FLAIR MR image.
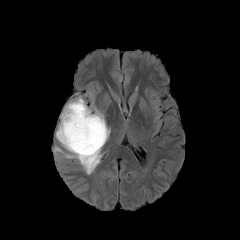
T1-weighted MR.
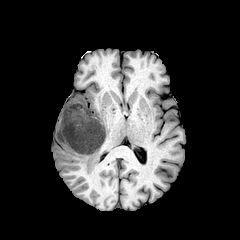
Post-contrast T1-weighted magnetic resonance.
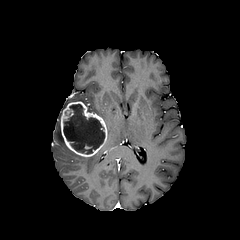
T2-weighted MRI.
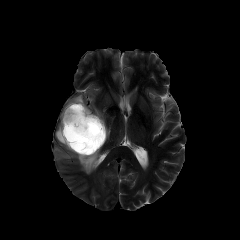
240x240 px.
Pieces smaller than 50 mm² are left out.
necrotic_tumor_core:
  - {"x1": 63, "y1": 104, "x2": 104, "y2": 154}
peritumoral_edema:
  - {"x1": 69, "y1": 96, "x2": 85, "y2": 104}
  - {"x1": 54, "y1": 124, "x2": 100, "y2": 174}
enhancing_tumor:
  - {"x1": 60, "y1": 101, "x2": 107, "y2": 156}